FLAIR MRI.
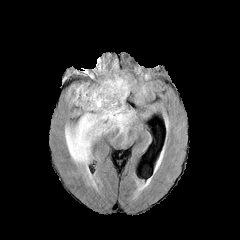
T1-weighted magnetic resonance.
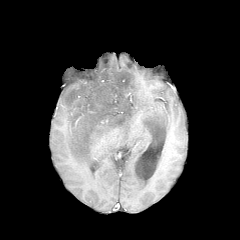
Post-contrast T1-weighted MR image.
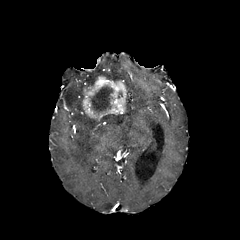
T2-weighted MR.
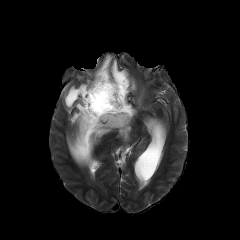
Image size 240x240, Axial view
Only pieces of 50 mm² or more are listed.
peritumoral edema: bounding box box=[65, 82, 135, 168]; box=[96, 60, 134, 95]
necrotic tumor core: bounding box box=[91, 87, 112, 112]
enhancing tumor: bounding box box=[82, 74, 127, 120]